Head, 240x240
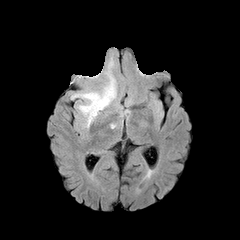
FLAIR MR image.
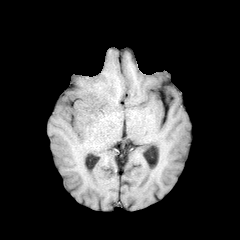
T1-weighted MR image.
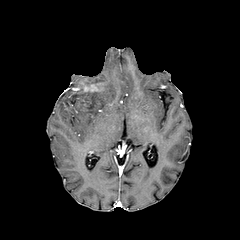
Same slice, post-contrast T1-weighted MRI.
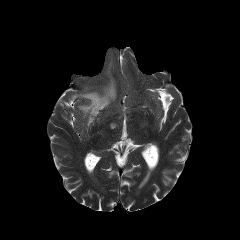
T2-weighted MR.
<segmentation>
  <peritumoral_edema>l=71, t=56, r=116, b=127</peritumoral_edema>
  <enhancing_tumor>l=84, t=85, r=97, b=91</enhancing_tumor>
</segmentation>